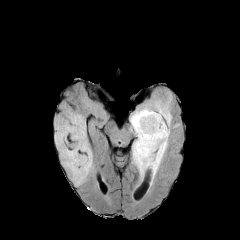
FLAIR MR image.
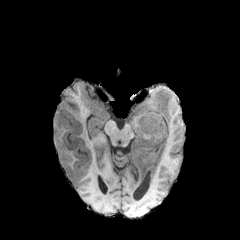
T1-weighted MRI of the same slice.
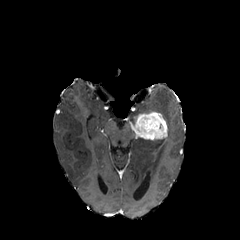
Same slice, post-contrast T1-weighted MRI.
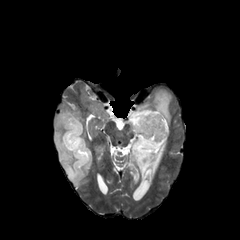
T2-weighted MRI.
Head.
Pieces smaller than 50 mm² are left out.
peritumoral_edema:
  - [54,103,93,185]
  - [131,90,173,177]
enhancing_tumor:
  - [130,111,167,140]